Slice 82 of 155; Image size 240x240
FLAIR magnetic resonance.
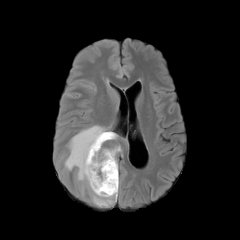
T1-weighted MR.
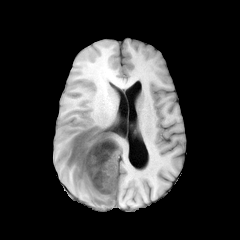
Post-contrast T1-weighted MR.
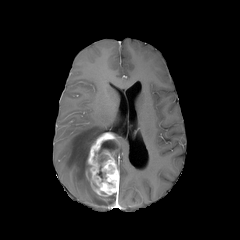
T2-weighted MRI.
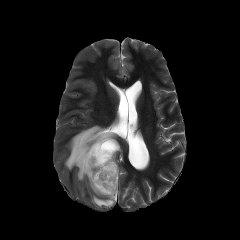
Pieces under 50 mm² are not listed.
Segmented structures:
- necrotic tumor core: [x1=98, y1=140, x2=118, y2=153]
- enhancing tumor: [x1=86, y1=132, x2=119, y2=196]
- peritumoral edema: [x1=114, y1=144, x2=121, y2=164], [x1=64, y1=125, x2=117, y2=206]